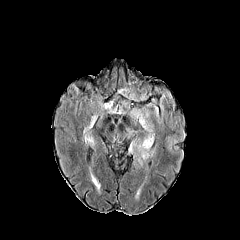
FLAIR MR.
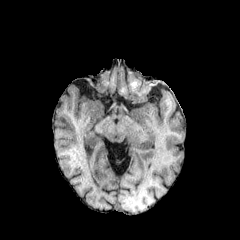
T1-weighted MRI.
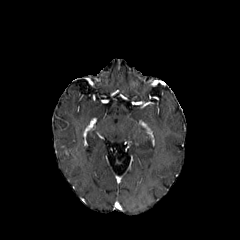
Post-contrast T1-weighted magnetic resonance.
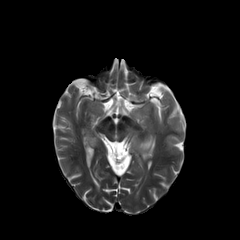
Same slice, T2-weighted MRI.
Head | Axial plane
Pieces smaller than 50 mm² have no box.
The 3 largest peritumoral edema regions are bounded by (139, 115, 154, 150), (141, 151, 149, 160), (82, 113, 97, 146).